FLAIR MR.
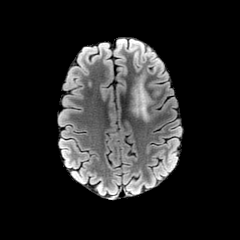
T1-weighted magnetic resonance.
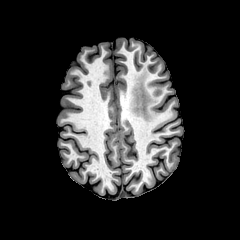
Post-contrast T1-weighted MRI.
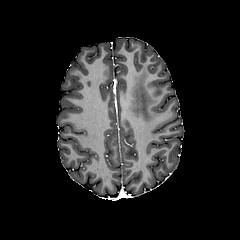
T2-weighted magnetic resonance.
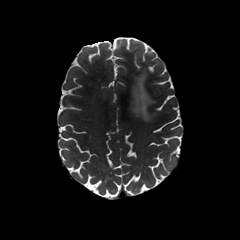
Brain. Axial view. Image size 240x240.
peritumoral edema = [x1=131, y1=75, x2=152, y2=121]